FLAIR MR image.
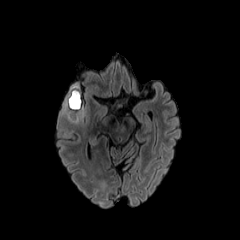
T1-weighted magnetic resonance.
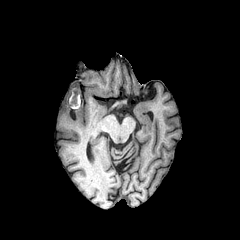
Post-contrast T1-weighted magnetic resonance.
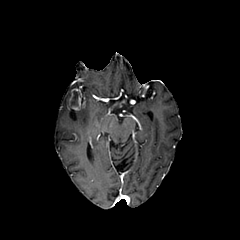
T2-weighted magnetic resonance.
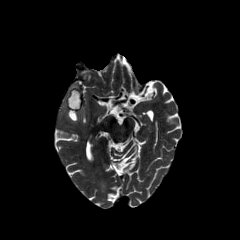
Head.
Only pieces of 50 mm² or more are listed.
peritumoral edema: {"x1": 63, "y1": 99, "x2": 83, "y2": 122} | enhancing tumor: {"x1": 69, "y1": 88, "x2": 81, "y2": 110} | necrotic tumor core: {"x1": 71, "y1": 91, "x2": 79, "y2": 106}